Brain. Axial plane. Image width 240 mm, 1.00 mm slice spacing. Slice 86/155.
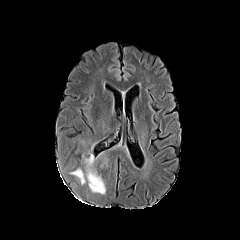
FLAIR MRI.
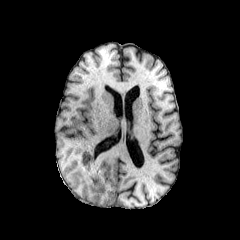
T1-weighted MR image.
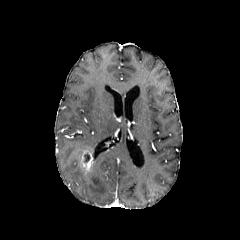
Post-contrast T1-weighted magnetic resonance.
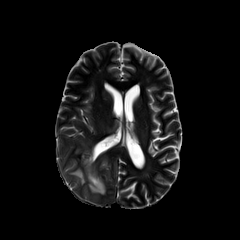
T2-weighted magnetic resonance.
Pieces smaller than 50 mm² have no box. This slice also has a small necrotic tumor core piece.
enhancing tumor at box=[82, 149, 93, 173]
peritumoral edema at box=[72, 167, 105, 194]